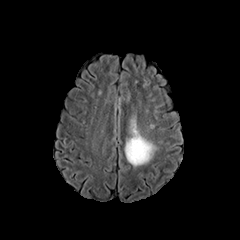
FLAIR magnetic resonance.
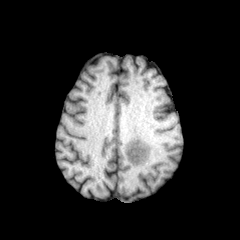
T1-weighted MR of the same slice.
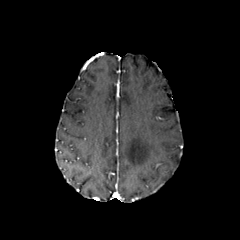
Post-contrast T1-weighted magnetic resonance.
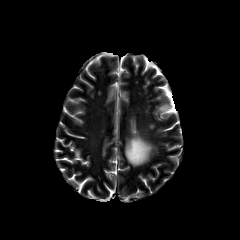
T2-weighted magnetic resonance.
Brain
The peritumoral edema appears at 125, 116, 156, 166.